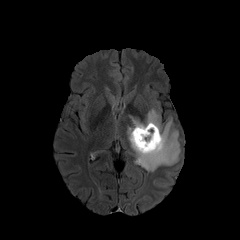
FLAIR MR.
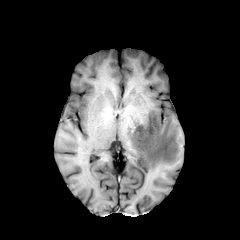
T1-weighted MRI.
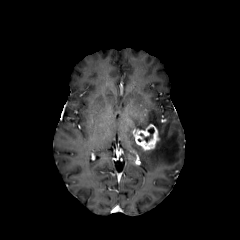
Post-contrast T1-weighted MR.
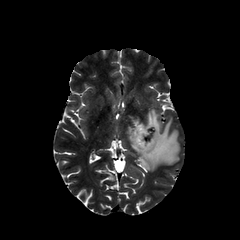
Same slice, T2-weighted MRI.
Brain
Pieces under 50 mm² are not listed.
The largest necrotic tumor core region lies within 144,128,154,141. The enhancing tumor lies within 132,124,159,150. The peritumoral edema is at 127,109,180,171.